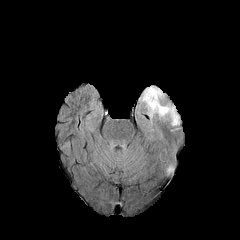
FLAIR MR.
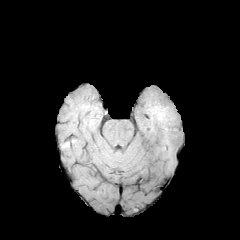
T1-weighted MR.
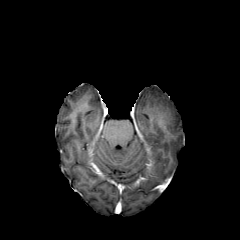
Post-contrast T1-weighted MRI.
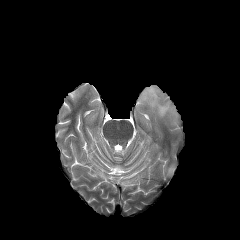
T2-weighted MRI.
Head
Findings:
* peritumoral edema: region(141, 86, 178, 125)